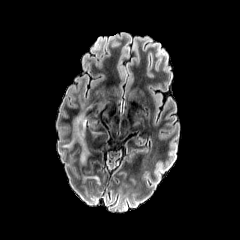
FLAIR MR.
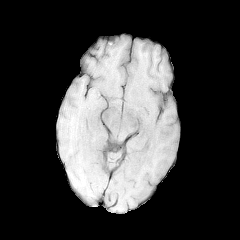
T1-weighted MR image of the same slice.
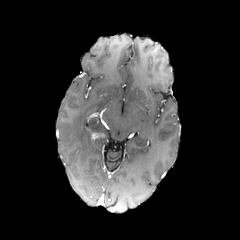
Post-contrast T1-weighted MRI of the same slice.
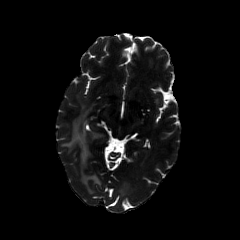
T2-weighted MR image.
Brain, Image size 240x240, Axial slice
The peritumoral edema is located at 63,113,90,163. The enhancing tumor is at 92,132,104,139.